Slice index 83 | 240x240 px | Image width 240 mm, 1.00 mm slice spacing
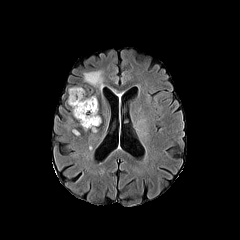
FLAIR MR image.
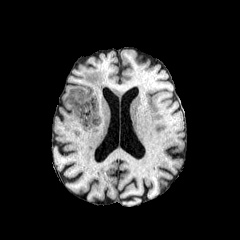
T1-weighted magnetic resonance.
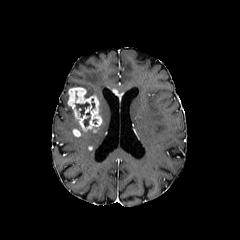
Same slice, post-contrast T1-weighted magnetic resonance.
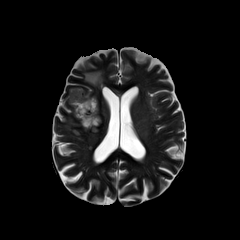
T2-weighted MRI.
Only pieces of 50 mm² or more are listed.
• peritumoral edema: [84,71,103,90]
• necrotic tumor core: [75,102,89,117]
• enhancing tumor: [67,87,101,132], [112,90,122,101]